FLAIR MR image.
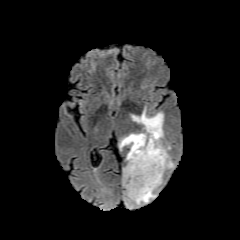
T1-weighted MR image.
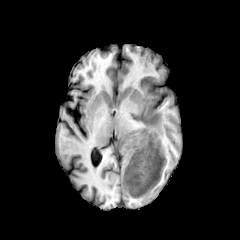
Post-contrast T1-weighted MR image.
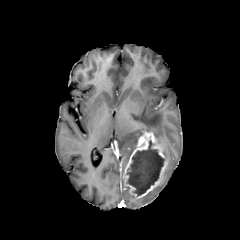
T2-weighted MR.
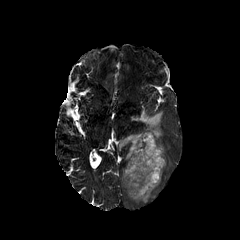
240x240 | Axial slice | Brain
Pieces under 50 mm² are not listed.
The enhancing tumor is at l=123, t=131, r=167, b=198. The 4 largest peritumoral edema regions appear at l=131, t=108, r=163, b=142; l=126, t=177, r=162, b=204; l=163, t=145, r=173, b=168; l=119, t=132, r=143, b=162. The necrotic tumor core lies within l=127, t=140, r=164, b=196.